Image covers 240 mm x 240 mm, 240x240
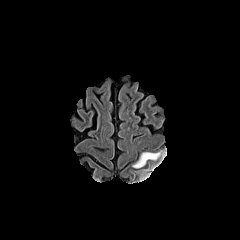
FLAIR MR.
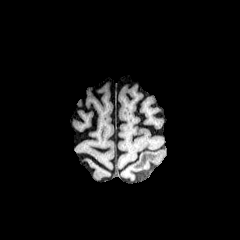
T1-weighted MRI.
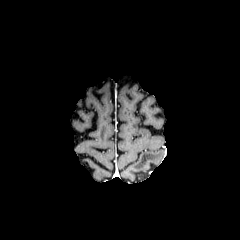
Same slice, post-contrast T1-weighted MRI.
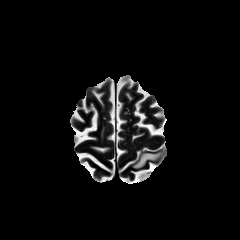
Same slice, T2-weighted MRI.
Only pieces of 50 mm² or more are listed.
The largest peritumoral edema region lies within l=133, t=151, r=163, b=168.